FLAIR MRI.
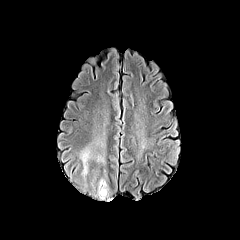
T1-weighted magnetic resonance.
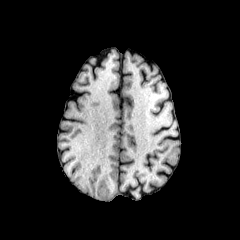
Post-contrast T1-weighted MR.
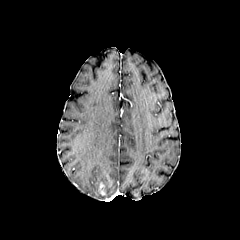
T2-weighted MRI.
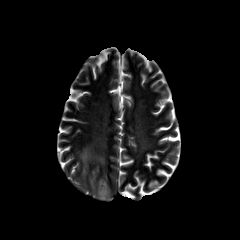
Axial slice, Brain, 240x240 px
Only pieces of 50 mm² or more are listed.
peritumoral edema = {"x1": 97, "y1": 179, "x2": 109, "y2": 199}, {"x1": 81, "y1": 149, "x2": 90, "y2": 174}
enhancing tumor = {"x1": 99, "y1": 183, "x2": 105, "y2": 195}